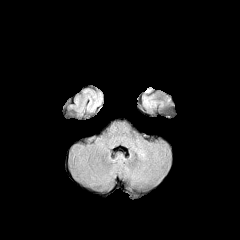
FLAIR MR image.
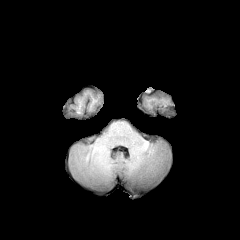
T1-weighted MR.
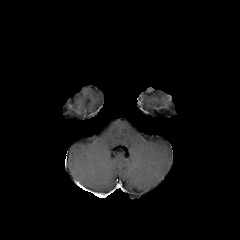
Post-contrast T1-weighted magnetic resonance.
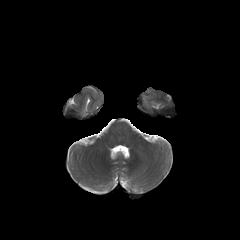
Same slice, T2-weighted MR.
Brain. Image size 240x240.
<segmentation>
  <peritumoral_edema>(142,94,156,112)</peritumoral_edema>
</segmentation>